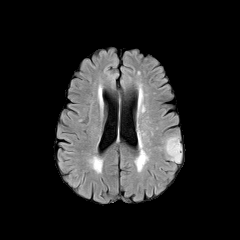
FLAIR magnetic resonance.
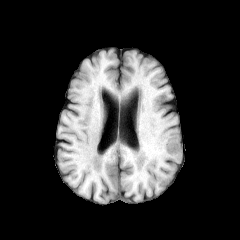
T1-weighted magnetic resonance.
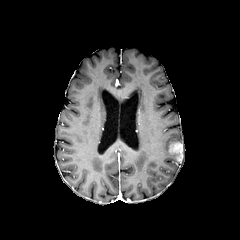
Same slice, post-contrast T1-weighted MRI.
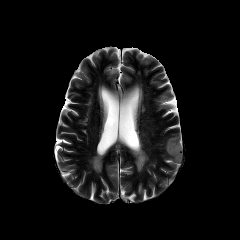
Same slice, T2-weighted MR.
Brain | Image size 240x240 | Axial view
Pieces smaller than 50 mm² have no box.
The largest peritumoral edema region is located at 165 135 181 162. The enhancing tumor lies within 169 141 182 160.